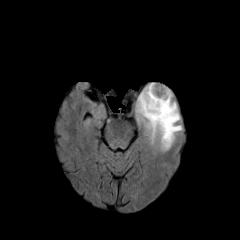
FLAIR MRI.
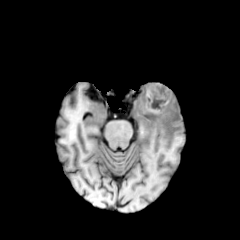
Same slice, T1-weighted MRI.
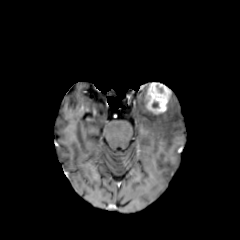
Post-contrast T1-weighted magnetic resonance of the same slice.
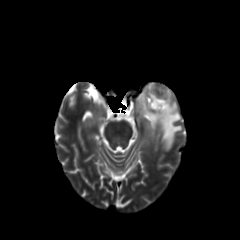
Same slice, T2-weighted MRI.
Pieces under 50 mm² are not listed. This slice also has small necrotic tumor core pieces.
Findings:
- enhancing tumor: <box>146,82,171,114</box>
- peritumoral edema: <box>135,82,181,149</box>